Axial plane, 240x240 px
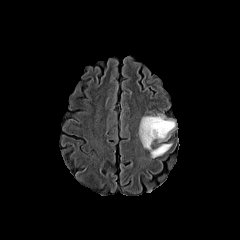
FLAIR MR.
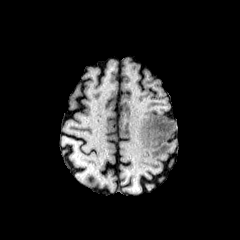
Same slice, T1-weighted MR.
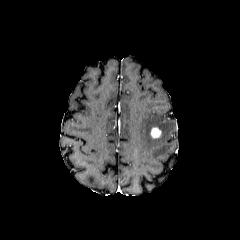
Post-contrast T1-weighted MR image of the same slice.
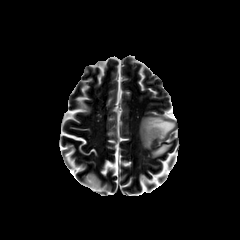
Same slice, T2-weighted MR.
peritumoral edema at <box>139,114,175,157</box>
enhancing tumor at <box>150,127,161,138</box>